FLAIR MR image.
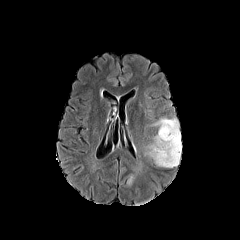
T1-weighted MRI.
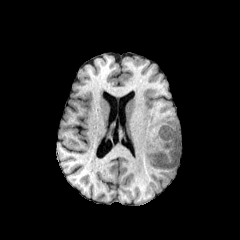
Post-contrast T1-weighted MR.
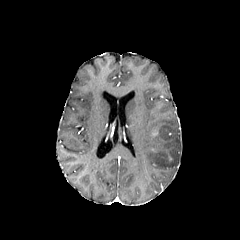
T2-weighted MRI.
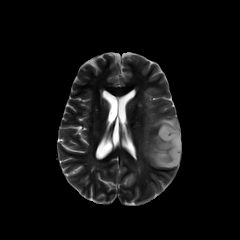
Head
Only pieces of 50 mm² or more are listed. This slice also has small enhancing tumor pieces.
• peritumoral edema: box(145, 116, 181, 167)